Head
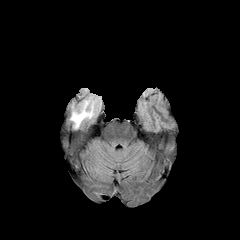
FLAIR MR image.
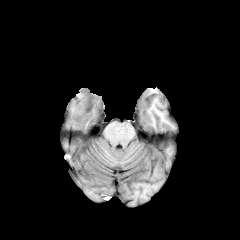
T1-weighted MR.
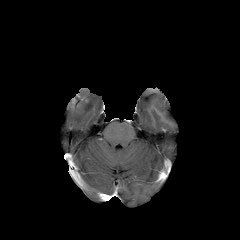
Same slice, post-contrast T1-weighted MR.
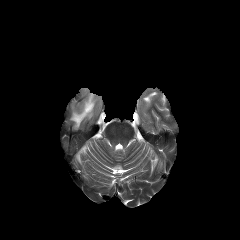
Same slice, T2-weighted MR.
peritumoral edema at region(70, 89, 101, 128)